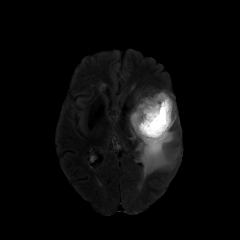
FLAIR MRI.
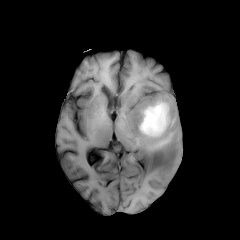
T1-weighted MR of the same slice.
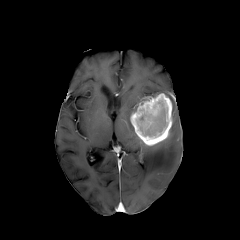
Same slice, post-contrast T1-weighted MR.
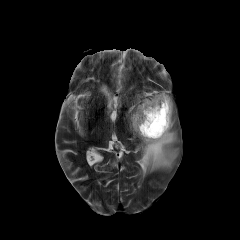
Same slice, T2-weighted MRI.
Brain.
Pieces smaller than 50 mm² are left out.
The enhancing tumor is bounded by region(130, 93, 172, 145). The largest necrotic tumor core region is located at region(146, 108, 165, 134). The peritumoral edema is bounded by region(129, 90, 179, 177).